Slice 123/155 | Image covers 240 mm x 240 mm | Brain
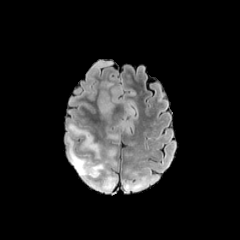
FLAIR MR.
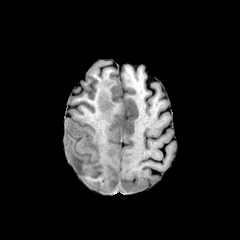
T1-weighted magnetic resonance.
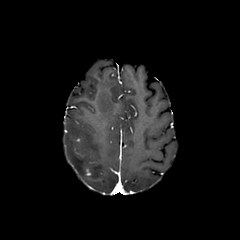
Post-contrast T1-weighted magnetic resonance of the same slice.
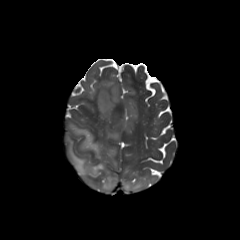
T2-weighted MR image of the same slice.
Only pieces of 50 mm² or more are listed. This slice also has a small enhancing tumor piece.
peritumoral edema — [127, 106, 136, 118], [66, 122, 117, 192], [123, 177, 153, 192], [108, 133, 118, 139], [99, 95, 113, 114]